FLAIR MR.
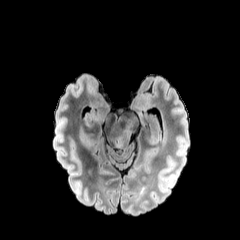
T1-weighted MRI.
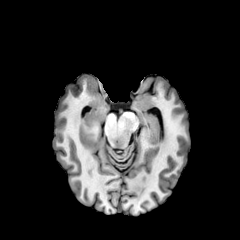
Post-contrast T1-weighted MRI.
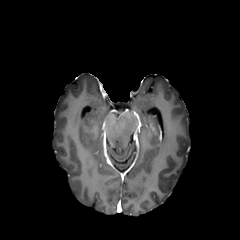
T2-weighted MR.
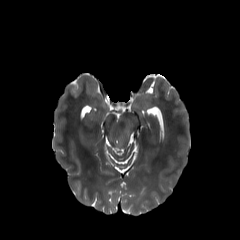
240x240.
peritumoral edema — 117, 125, 130, 146